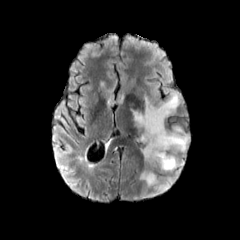
FLAIR magnetic resonance.
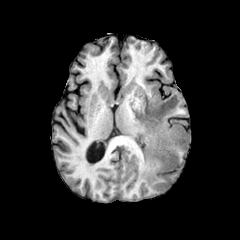
Same slice, T1-weighted MRI.
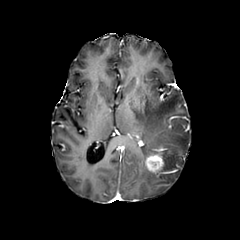
Same slice, post-contrast T1-weighted MR image.
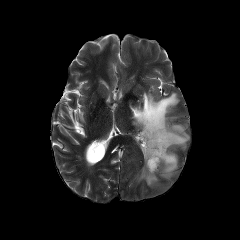
T2-weighted MR image of the same slice.
Head. Image size 240x240.
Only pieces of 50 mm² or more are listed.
<segmentation>
  <peritumoral_edema>box(139, 163, 157, 185); box(159, 184, 169, 191); box(131, 93, 189, 171)</peritumoral_edema>
  <enhancing_tumor>box(145, 144, 165, 173)</enhancing_tumor>
</segmentation>